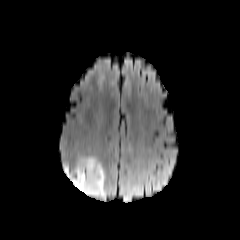
FLAIR MRI.
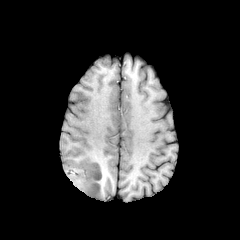
T1-weighted MR image of the same slice.
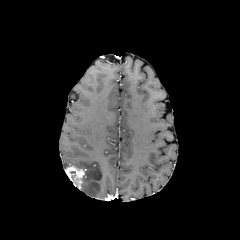
Post-contrast T1-weighted magnetic resonance.
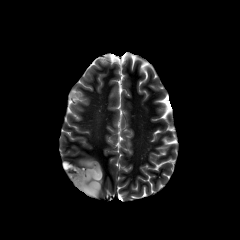
T2-weighted MR image of the same slice.
Image size 240x240
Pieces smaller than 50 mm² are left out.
The enhancing tumor is at rect(65, 165, 86, 189). The largest peritumoral edema region is at rect(77, 157, 105, 197).